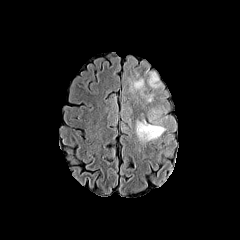
FLAIR magnetic resonance.
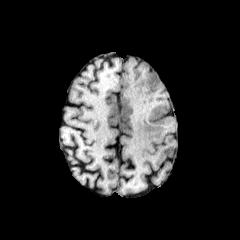
T1-weighted MRI.
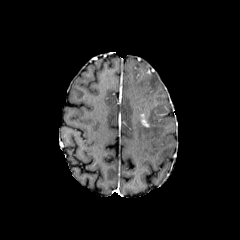
Post-contrast T1-weighted MRI.
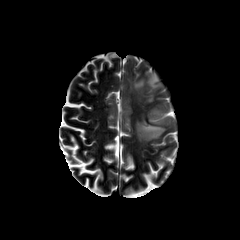
T2-weighted MR of the same slice.
Axial plane, Head
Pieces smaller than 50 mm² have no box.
The enhancing tumor appears at box(141, 114, 148, 126). The 3 largest peritumoral edema regions are located at box(136, 121, 165, 140); box(148, 73, 160, 88); box(131, 79, 144, 91).